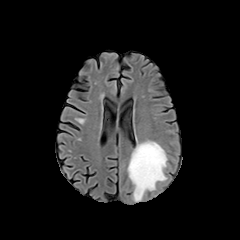
FLAIR MR.
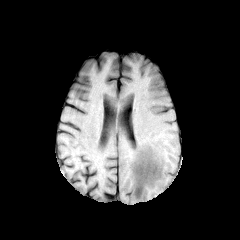
T1-weighted MR image of the same slice.
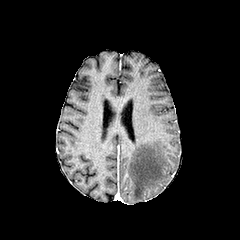
Same slice, post-contrast T1-weighted magnetic resonance.
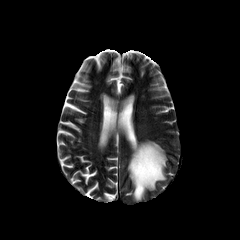
T2-weighted MR.
Head, Axial view
peritumoral edema: 128 141 167 201